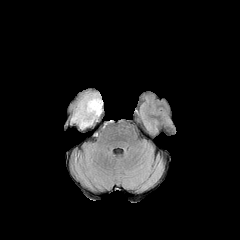
FLAIR MR image.
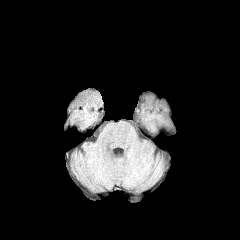
T1-weighted magnetic resonance of the same slice.
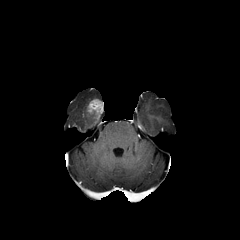
Same slice, post-contrast T1-weighted MR.
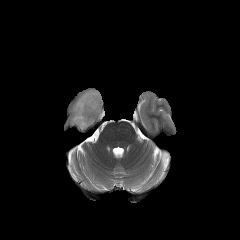
T2-weighted MRI.
Axial slice. Image size 240x240.
enhancing_tumor:
  - {"x1": 87, "y1": 99, "x2": 103, "y2": 119}
peritumoral_edema:
  - {"x1": 71, "y1": 92, "x2": 101, "y2": 129}